Slice 62/155
FLAIR magnetic resonance.
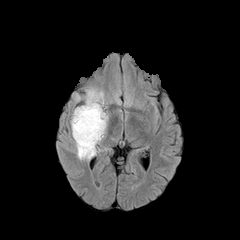
T1-weighted MR image.
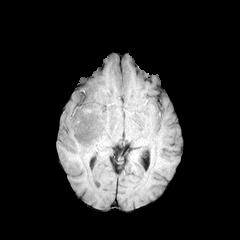
Post-contrast T1-weighted MRI.
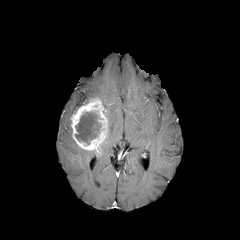
T2-weighted MR image.
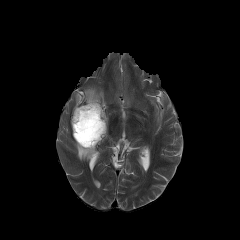
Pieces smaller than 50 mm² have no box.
The necrotic tumor core is at region(75, 112, 100, 144). The enhancing tumor appears at region(70, 98, 107, 153). The 2 largest peritumoral edema regions are located at region(74, 140, 95, 160); region(75, 87, 106, 108).